Axial slice | Slice 41/155 | Head
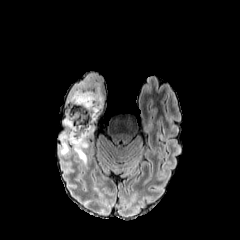
FLAIR MR image.
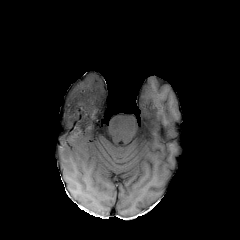
Same slice, T1-weighted MR image.
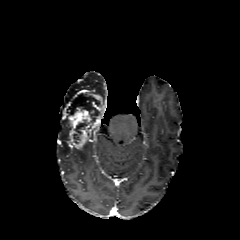
Post-contrast T1-weighted magnetic resonance of the same slice.
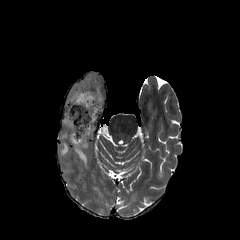
T2-weighted magnetic resonance.
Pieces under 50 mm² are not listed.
necrotic tumor core = (left=73, top=92, right=100, bottom=134)
enhancing tumor = (left=69, top=89, right=103, bottom=148)
peritumoral edema = (left=60, top=141, right=69, bottom=155), (left=63, top=83, right=86, bottom=126), (left=73, top=142, right=88, bottom=167)